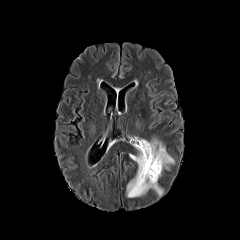
FLAIR MRI.
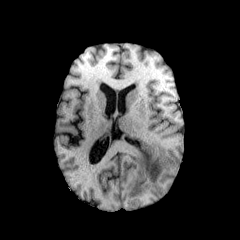
T1-weighted MR of the same slice.
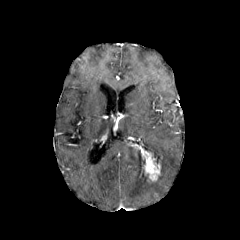
Post-contrast T1-weighted MRI.
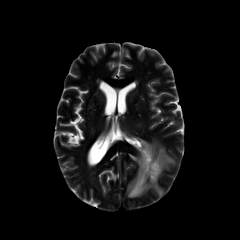
T2-weighted MR.
Head. Axial plane. 240x240 px.
The enhancing tumor lies within [x1=126, y1=142, x2=162, y2=181]. 2 peritumoral edema regions are located at [x1=126, y1=150, x2=163, y2=197], [x1=136, y1=137, x2=174, y2=178].